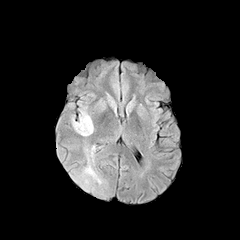
FLAIR MRI.
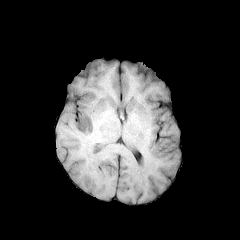
T1-weighted MRI.
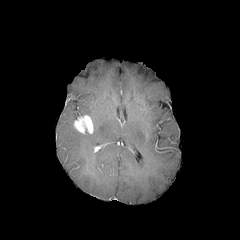
Same slice, post-contrast T1-weighted magnetic resonance.
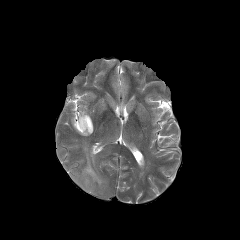
T2-weighted MRI.
Axial view, Head, Image size 240x240
3 peritumoral edema regions are located at rect(71, 116, 90, 136); rect(79, 107, 89, 116); rect(78, 145, 102, 191). The enhancing tumor is bounded by rect(74, 115, 93, 133).